Slice index 80, Head
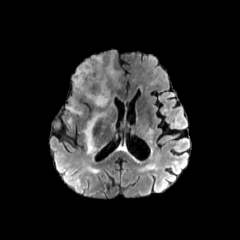
FLAIR MRI.
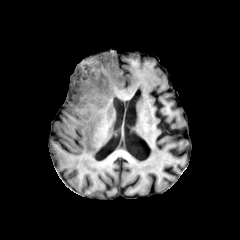
Same slice, T1-weighted magnetic resonance.
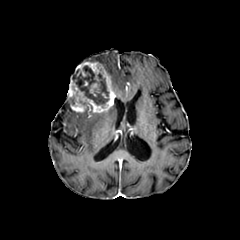
Post-contrast T1-weighted MR image.
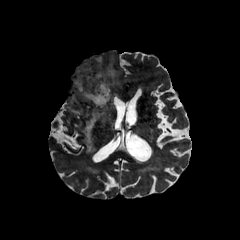
T2-weighted MRI of the same slice.
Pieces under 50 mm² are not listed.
The 2 largest peritumoral edema regions are bounded by <bbox>105, 63, 116, 82</bbox>, <bbox>83, 112, 105, 153</bbox>. The largest necrotic tumor core region lies within <bbox>72, 66, 108, 104</bbox>. The 2 largest enhancing tumor regions appear at <bbox>68, 62, 115, 113</bbox>, <bbox>90, 83, 99, 96</bbox>.